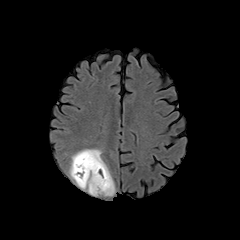
FLAIR MR.
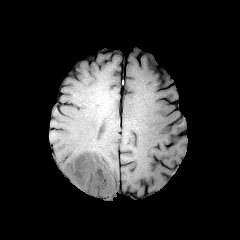
T1-weighted MR.
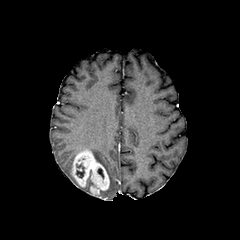
Same slice, post-contrast T1-weighted MR image.
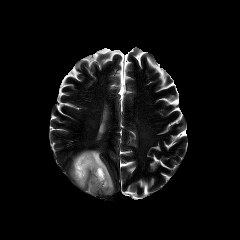
T2-weighted MR image.
Axial slice
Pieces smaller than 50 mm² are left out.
peritumoral_edema:
  - box=[69, 149, 115, 195]
enhancing_tumor:
  - box=[71, 150, 109, 195]
necrotic_tumor_core:
  - box=[76, 164, 84, 178]